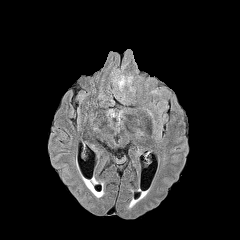
FLAIR MRI.
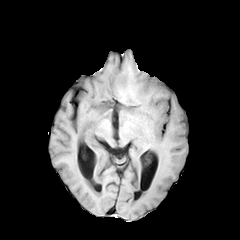
Same slice, T1-weighted MR image.
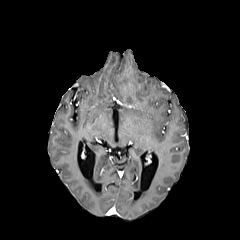
Post-contrast T1-weighted magnetic resonance of the same slice.
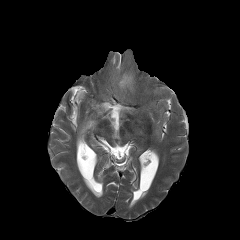
T2-weighted MR image of the same slice.
Axial slice.
peritumoral edema: <box>119,77,131,86</box>